Slice 115 of 155; Brain; Axial plane
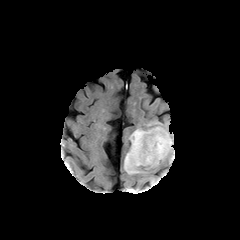
FLAIR MR.
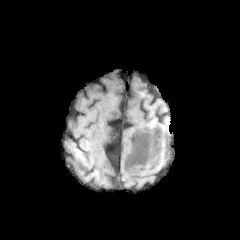
T1-weighted MR image.
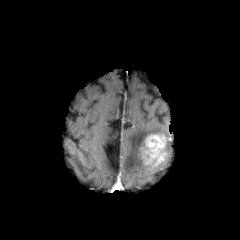
Post-contrast T1-weighted magnetic resonance of the same slice.
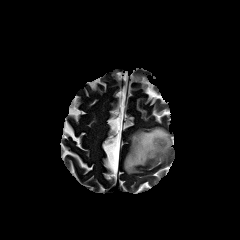
T2-weighted magnetic resonance.
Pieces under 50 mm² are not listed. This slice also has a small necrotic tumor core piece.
The peritumoral edema appears at 124 126 172 174. The enhancing tumor appears at 139 133 166 166.